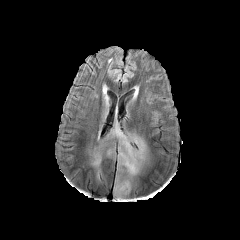
FLAIR MR image.
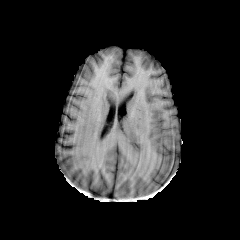
T1-weighted MR image.
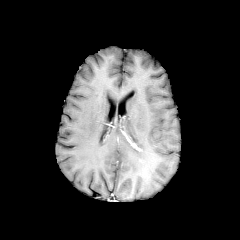
Post-contrast T1-weighted MRI of the same slice.
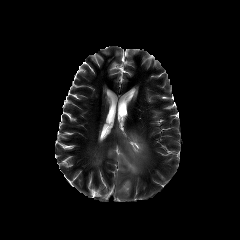
T2-weighted MRI of the same slice.
Head. Axial plane. 240x240 px.
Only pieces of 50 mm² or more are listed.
peritumoral edema — (113,126,145,174)